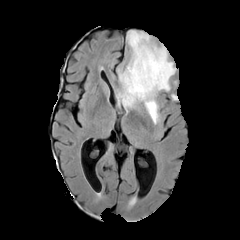
FLAIR MR.
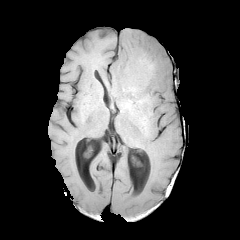
T1-weighted MR image.
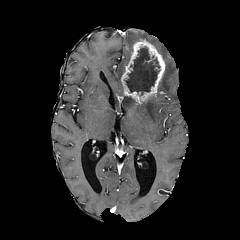
Post-contrast T1-weighted MR image.
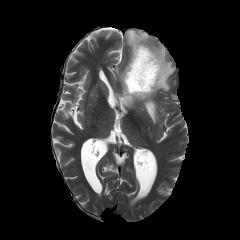
T2-weighted magnetic resonance.
240x240 px.
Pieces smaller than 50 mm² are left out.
• peritumoral edema: (116,67,138,109), (126,30,175,91), (141,96,158,123)
• enhancing tumor: (121,38,165,103)
• necrotic tumor core: (125,47,159,95)